FLAIR MR image.
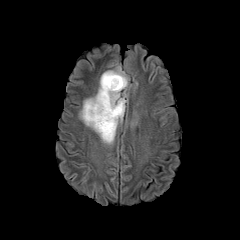
T1-weighted MRI.
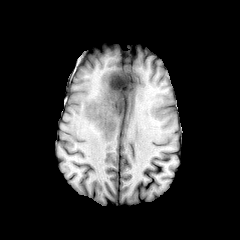
Post-contrast T1-weighted MRI.
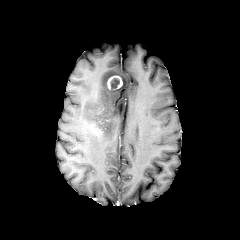
T2-weighted MRI.
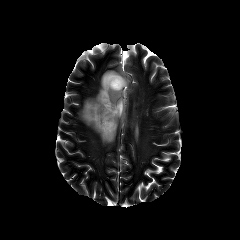
240x240; Head
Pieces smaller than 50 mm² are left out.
<segmentation>
  <necrotic_tumor_core>box=[111, 79, 118, 88]</necrotic_tumor_core>
  <enhancing_tumor>box=[107, 75, 122, 91]</enhancing_tumor>
  <peritumoral_edema>box=[79, 65, 129, 144]</peritumoral_edema>
</segmentation>